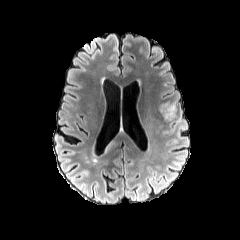
FLAIR MR image.
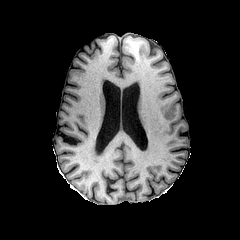
Same slice, T1-weighted MR.
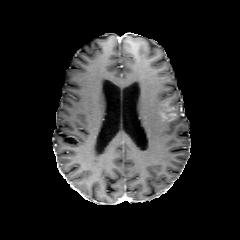
Post-contrast T1-weighted magnetic resonance.
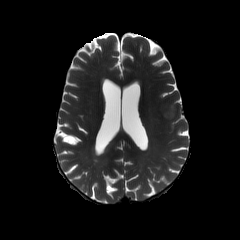
Same slice, T2-weighted MR.
Head
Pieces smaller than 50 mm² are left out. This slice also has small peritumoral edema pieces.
enhancing tumor — <bbox>162, 102, 176, 120</bbox>